FLAIR MR.
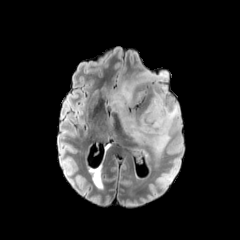
T1-weighted MR.
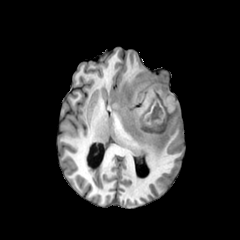
Post-contrast T1-weighted MR image.
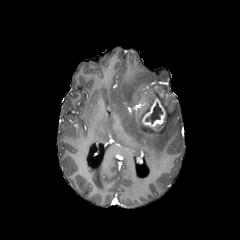
T2-weighted magnetic resonance.
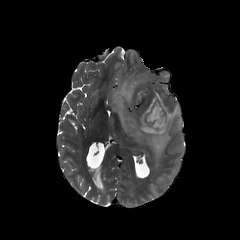
Axial plane
necrotic tumor core — left=145, top=103, right=162, bottom=123
peritumoral edema — left=109, top=69, right=181, bottom=157
enhancing tumor — left=142, top=96, right=165, bottom=129; left=158, top=91, right=168, bottom=98